Slice 49/155, Image size 240x240
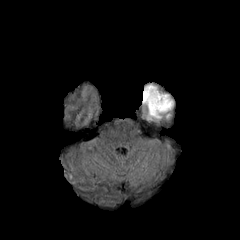
FLAIR magnetic resonance.
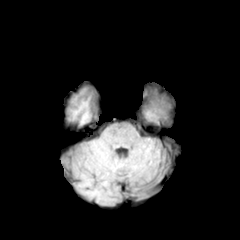
Same slice, T1-weighted MR.
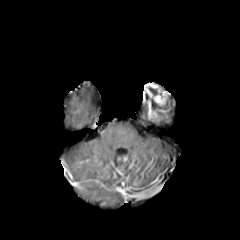
Post-contrast T1-weighted MR.
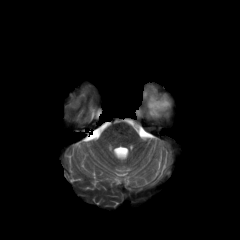
T2-weighted magnetic resonance.
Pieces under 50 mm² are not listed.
Findings:
- enhancing tumor: l=143, t=83, r=169, b=121
- necrotic tumor core: l=151, t=99, r=168, b=110
- peritumoral edema: l=167, t=96, r=173, b=110